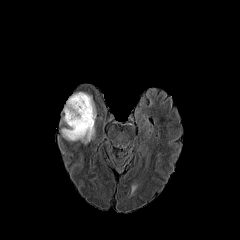
FLAIR MR image.
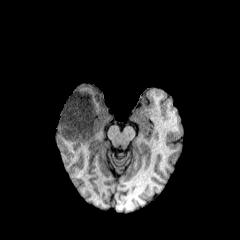
T1-weighted MRI.
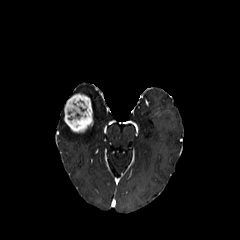
Same slice, post-contrast T1-weighted MR image.
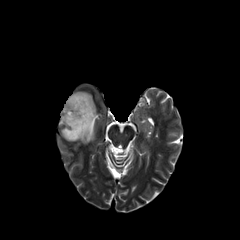
T2-weighted magnetic resonance.
240x240, Axial view
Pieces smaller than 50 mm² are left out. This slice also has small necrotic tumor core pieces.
peritumoral edema: bounding box bbox(78, 92, 96, 119); bbox(60, 126, 90, 144)
enhancing tumor: bounding box bbox(64, 93, 93, 133)